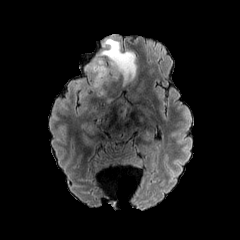
FLAIR magnetic resonance.
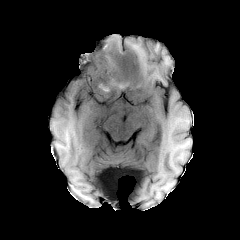
T1-weighted magnetic resonance.
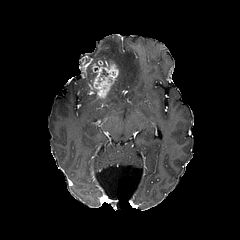
Same slice, post-contrast T1-weighted magnetic resonance.
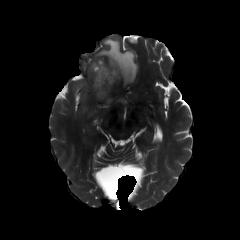
T2-weighted MRI of the same slice.
Axial slice.
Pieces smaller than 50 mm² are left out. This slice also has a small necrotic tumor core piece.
enhancing_tumor:
  - x1=91, y1=60, x2=119, y2=99
peritumoral_edema:
  - x1=98, y1=38, x2=136, y2=82